Brain
FLAIR MR image.
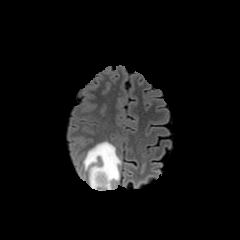
T1-weighted MRI.
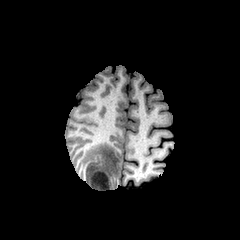
Post-contrast T1-weighted MR.
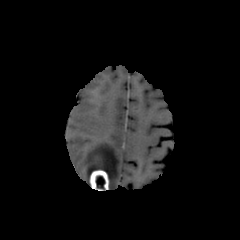
T2-weighted MR.
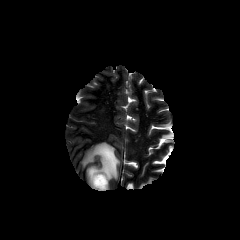
The peritumoral edema is located at box=[82, 141, 121, 189]. The necrotic tumor core lies within box=[96, 176, 104, 188]. The enhancing tumor appears at box=[89, 170, 108, 190].